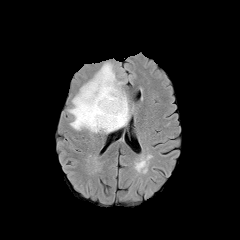
FLAIR MR.
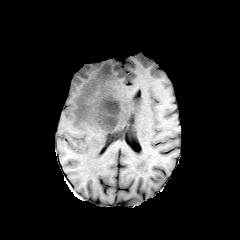
T1-weighted MR image.
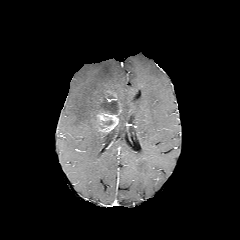
Post-contrast T1-weighted MR image.
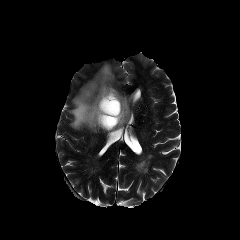
T2-weighted MRI.
Axial slice. 240x240.
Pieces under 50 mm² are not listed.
necrotic tumor core: (100,100,119,114) | enhancing tumor: (96,91,121,132) | peritumoral edema: (68,62,129,133)